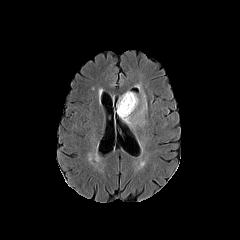
FLAIR magnetic resonance.
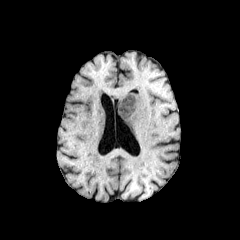
T1-weighted MR image of the same slice.
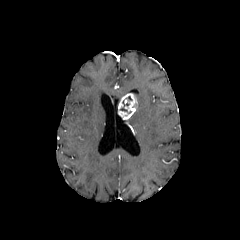
Same slice, post-contrast T1-weighted magnetic resonance.
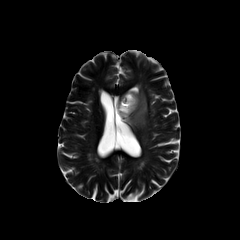
T2-weighted MR of the same slice.
Axial slice | Brain
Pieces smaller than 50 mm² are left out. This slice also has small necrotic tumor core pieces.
peritumoral_edema:
  - [119, 84, 147, 125]
enhancing_tumor:
  - [118, 93, 137, 119]